Axial view
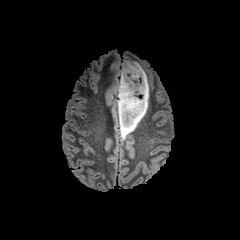
FLAIR magnetic resonance.
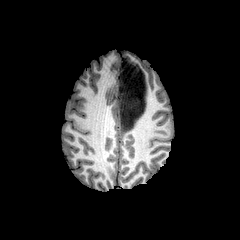
T1-weighted MRI.
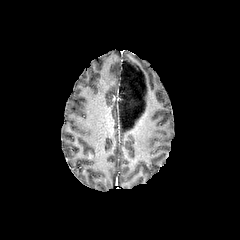
Post-contrast T1-weighted MR image.
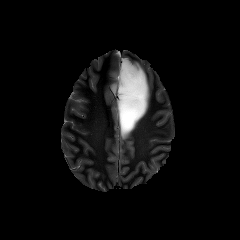
Same slice, T2-weighted magnetic resonance.
2 peritumoral edema regions are bounded by [111,70,119,94], [117,59,149,140].